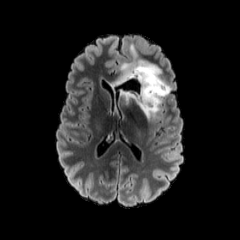
FLAIR magnetic resonance.
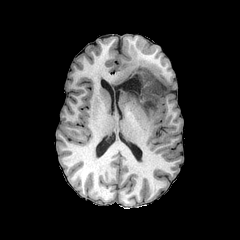
Same slice, T1-weighted MR.
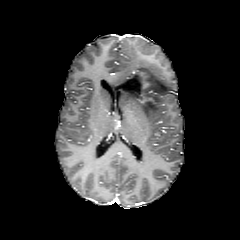
Post-contrast T1-weighted MR of the same slice.
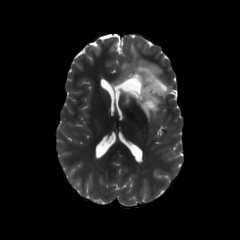
T2-weighted MR image.
Head. Image size 240x240.
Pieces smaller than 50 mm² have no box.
The necrotic tumor core is at region(114, 78, 140, 92). The 2 largest enhancing tumor regions are bounded by region(127, 70, 150, 88); region(138, 96, 154, 105). The peritumoral edema is at region(112, 44, 171, 119).